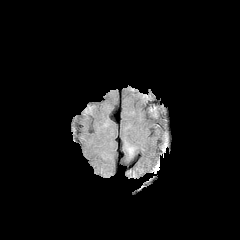
FLAIR MR.
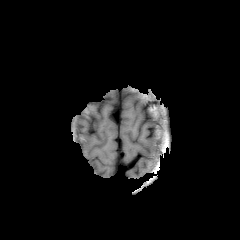
T1-weighted MR image.
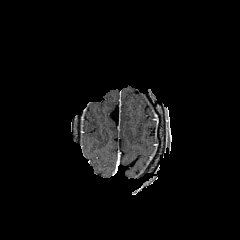
Post-contrast T1-weighted magnetic resonance.
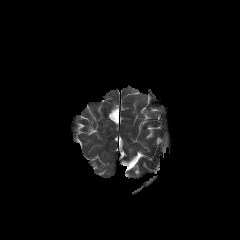
Same slice, T2-weighted MR image.
240x240, Head
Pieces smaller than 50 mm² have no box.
peritumoral edema = x1=125 y1=142 x2=136 y2=157